Axial slice, Slice 59/155
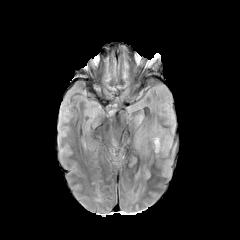
FLAIR MRI.
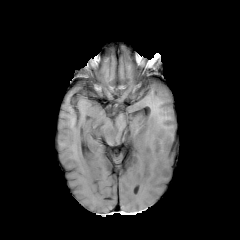
T1-weighted MR image.
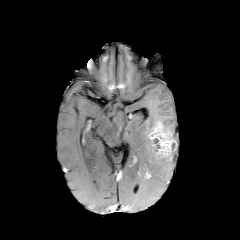
Same slice, post-contrast T1-weighted MR.
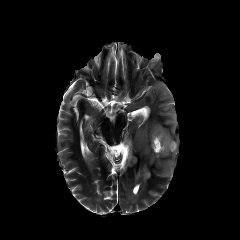
T2-weighted MR image.
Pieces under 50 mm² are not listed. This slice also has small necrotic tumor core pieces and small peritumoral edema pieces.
The 2 largest enhancing tumor regions appear at <bbox>148, 125, 173, 154</bbox>, <bbox>138, 165, 150, 177</bbox>.